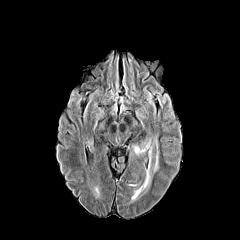
FLAIR MR image.
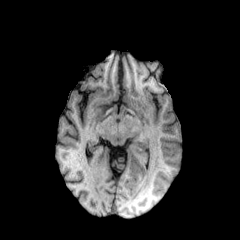
T1-weighted MR image.
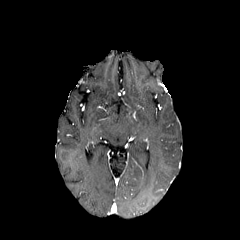
Post-contrast T1-weighted MR image of the same slice.
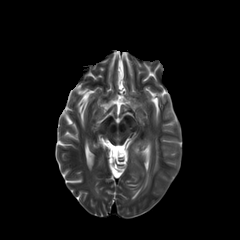
Same slice, T2-weighted MR image.
Axial view
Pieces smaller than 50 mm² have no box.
peritumoral edema at 131,167,150,199; 134,146,144,154; 154,139,158,171